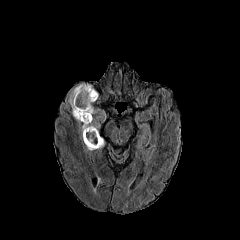
FLAIR magnetic resonance.
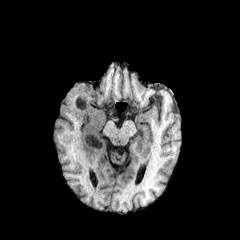
T1-weighted MRI.
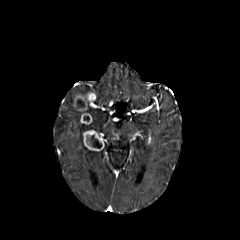
Post-contrast T1-weighted MR image of the same slice.
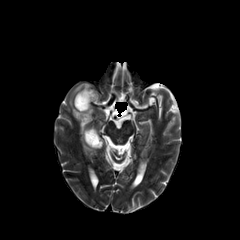
T2-weighted MRI.
240x240 px
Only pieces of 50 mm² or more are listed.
necrotic_tumor_core:
  - 76,98,85,108
  - 86,134,101,148
peritumoral_edema:
  - 80,106,104,159
  - 68,84,94,122
enhancing_tumor:
  - 73,91,96,124
  - 83,130,104,151